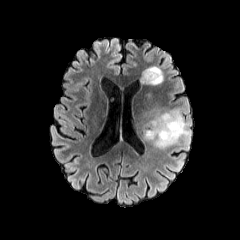
FLAIR MR.
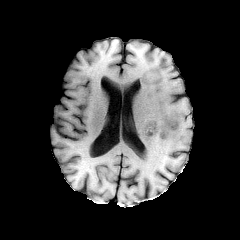
Same slice, T1-weighted MRI.
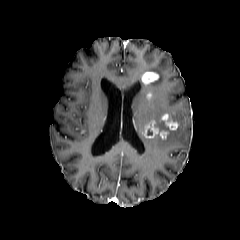
Post-contrast T1-weighted MR of the same slice.
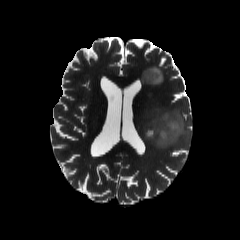
T2-weighted MRI.
Head; 240x240; Axial plane
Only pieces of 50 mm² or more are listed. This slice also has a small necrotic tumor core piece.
The 2 largest peritumoral edema regions are located at [x1=138, y1=107, x2=191, y2=148], [x1=142, y1=66, x2=163, y2=84]. The 3 largest enhancing tumor regions are bounded by [x1=143, y1=120, x2=168, y2=139], [x1=141, y1=71, x2=159, y2=84], [x1=161, y1=113, x2=178, y2=131].